Slice index 110
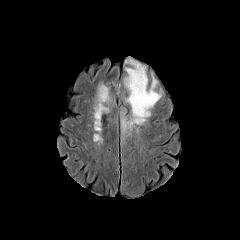
FLAIR MRI.
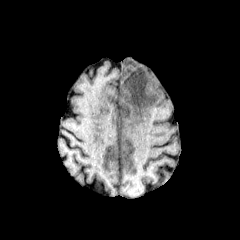
Same slice, T1-weighted MR.
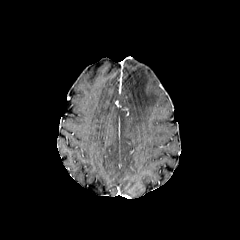
Post-contrast T1-weighted magnetic resonance.
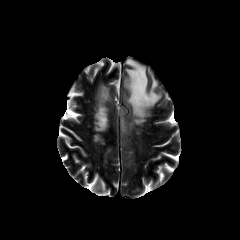
T2-weighted MR.
{
  "peritumoral_edema": [
    "(x1=97, y1=81, x2=107, y2=101)",
    "(x1=120, y1=58, x2=163, y2=134)"
  ]
}